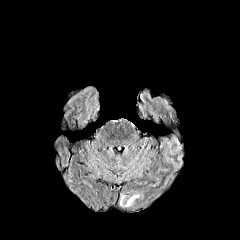
FLAIR MRI.
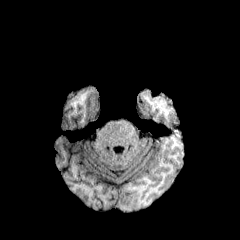
T1-weighted MR image.
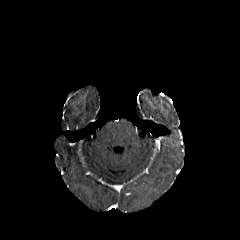
Same slice, post-contrast T1-weighted MRI.
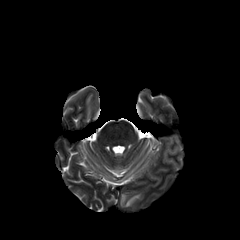
T2-weighted MR image.
Brain | 240x240 px | Axial view
The peritumoral edema appears at (left=120, top=194, right=139, bottom=206).